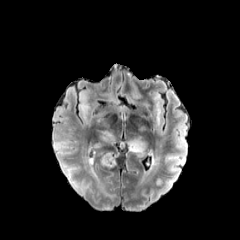
FLAIR MR.
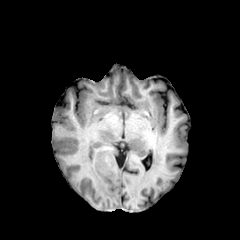
T1-weighted MR.
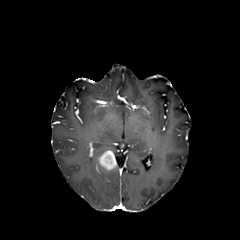
Same slice, post-contrast T1-weighted MR image.
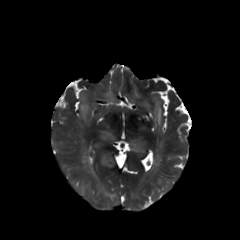
T2-weighted magnetic resonance.
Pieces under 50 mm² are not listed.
peritumoral edema: (left=103, top=131, right=112, bottom=139), (left=87, top=157, right=97, bottom=178), (left=79, top=94, right=89, bottom=121), (left=130, top=141, right=143, bottom=152) | enhancing tumor: (left=97, top=150, right=116, bottom=170)